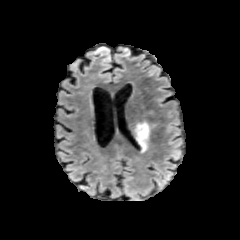
FLAIR MR image.
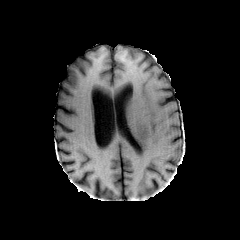
T1-weighted magnetic resonance of the same slice.
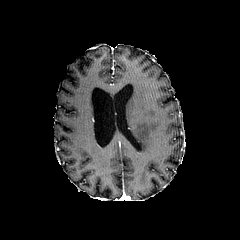
Post-contrast T1-weighted MR image.
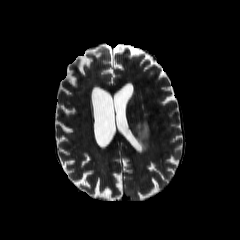
T2-weighted MR of the same slice.
Head; Axial slice
peritumoral_edema:
  - 129 120 149 153